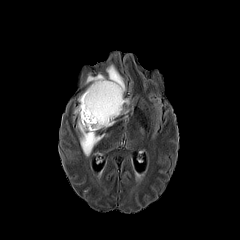
FLAIR MRI.
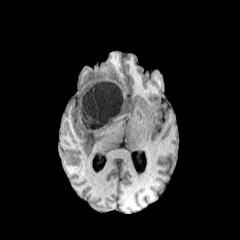
Same slice, T1-weighted magnetic resonance.
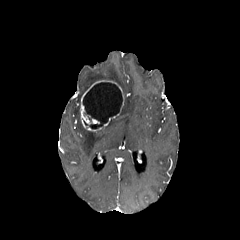
Same slice, post-contrast T1-weighted MR image.
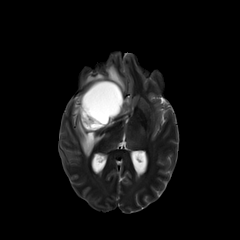
T2-weighted MRI of the same slice.
240x240; Axial slice; Brain
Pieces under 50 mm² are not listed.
Annotated regions:
• necrotic tumor core: left=83, top=82, right=122, bottom=129
• peritumoral edema: left=74, top=105, right=105, bottom=156; left=120, top=98, right=130, bottom=115; left=84, top=64, right=126, bottom=92
• enhancing tumor: left=80, top=80, right=124, bottom=131